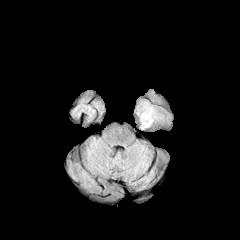
FLAIR MR.
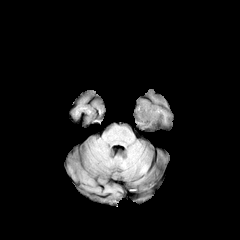
T1-weighted MR image.
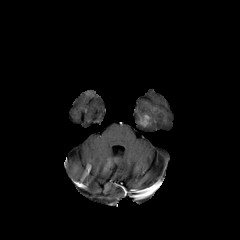
Post-contrast T1-weighted magnetic resonance.
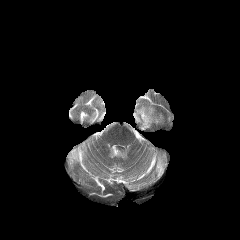
Same slice, T2-weighted MR.
Head.
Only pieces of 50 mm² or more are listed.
enhancing tumor: bounding box bbox=[139, 113, 150, 126]
peritumoral edema: bounding box bbox=[137, 103, 158, 129]